FLAIR MR image.
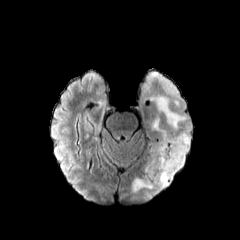
T1-weighted MRI.
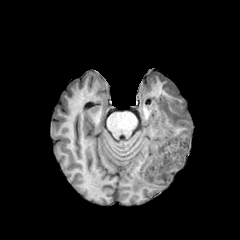
Post-contrast T1-weighted MRI.
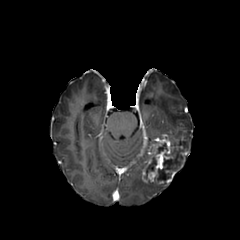
T2-weighted magnetic resonance.
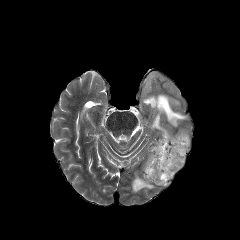
Brain. Axial view.
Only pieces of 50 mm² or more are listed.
3 necrotic tumor core regions are located at <bbox>154, 139, 184, 183</bbox>, <bbox>145, 155, 156, 178</bbox>, <bbox>155, 142, 167, 154</bbox>. The 3 largest peritumoral edema regions are located at <bbox>131, 176, 165, 192</bbox>, <bbox>156, 96, 186, 128</bbox>, <bbox>152, 117, 190, 150</bbox>. The largest enhancing tumor region is located at <bbox>142, 133, 188, 186</bbox>.